FLAIR magnetic resonance.
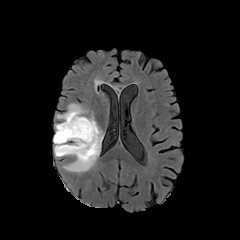
T1-weighted MR.
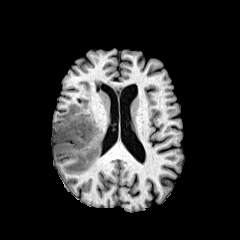
Post-contrast T1-weighted MRI.
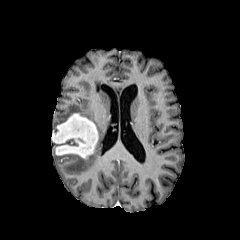
T2-weighted MR.
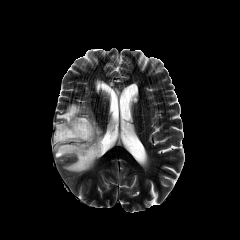
Axial slice. Brain.
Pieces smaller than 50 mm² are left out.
{"enhancing_tumor": ["left=53, top=113, right=98, bottom=159"], "peritumoral_edema": ["left=54, top=103, right=104, bottom=173"]}